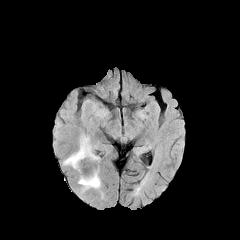
FLAIR magnetic resonance.
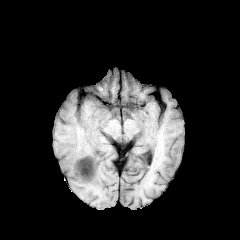
T1-weighted magnetic resonance of the same slice.
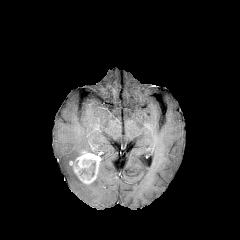
Post-contrast T1-weighted MRI of the same slice.
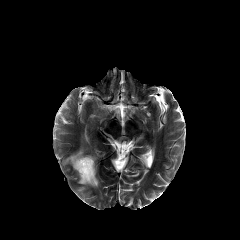
T2-weighted magnetic resonance of the same slice.
Brain. Axial slice.
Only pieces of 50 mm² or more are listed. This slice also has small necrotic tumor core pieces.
The enhancing tumor is located at (69,152,100,183). The 2 largest peritumoral edema regions are bounded by (62,136,91,165), (78,173,100,191).